Slice 39/155, 240x240 px
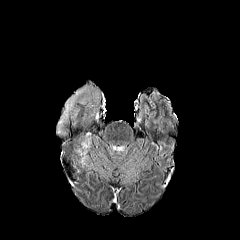
FLAIR MR image.
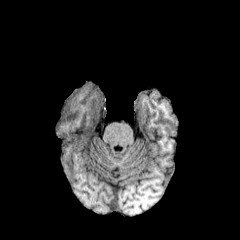
Same slice, T1-weighted MR.
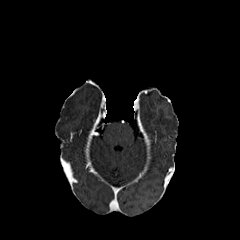
Post-contrast T1-weighted MR.
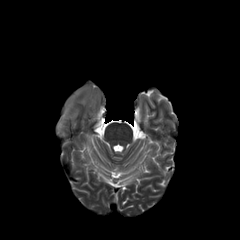
Same slice, T2-weighted MR image.
3 peritumoral edema regions appear at box=[80, 92, 99, 107]; box=[56, 87, 88, 135]; box=[70, 107, 79, 119].